Axial plane | Brain | Image covers 240 mm x 240 mm | Slice 52 of 155
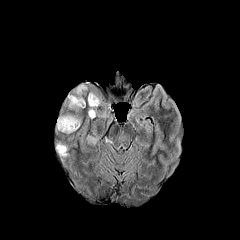
FLAIR MR.
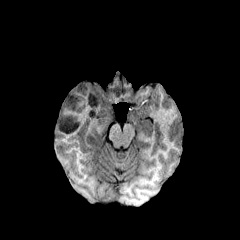
Same slice, T1-weighted magnetic resonance.
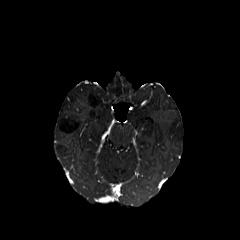
Post-contrast T1-weighted MR.
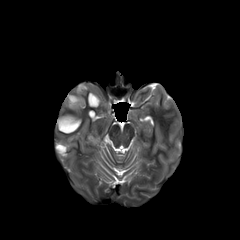
T2-weighted MR of the same slice.
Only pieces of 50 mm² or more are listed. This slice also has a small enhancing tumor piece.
The 5 largest peritumoral edema regions are located at 57,116,81,134; 58,146,66,155; 88,109,95,117; 88,92,101,107; 68,84,87,108. The necrotic tumor core appears at 70,98,81,112.